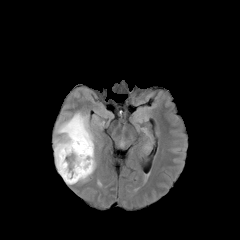
FLAIR magnetic resonance.
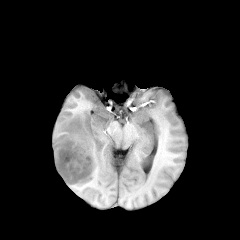
T1-weighted MR image of the same slice.
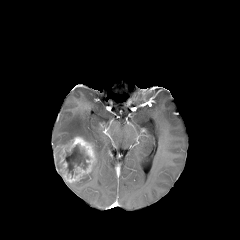
Post-contrast T1-weighted MR.
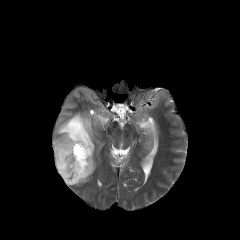
T2-weighted MRI.
Axial plane, Head
Findings:
• necrotic tumor core: (65,145,89,176)
• enhancing tumor: (59,136,95,183)
• peritumoral edema: (66,159,96,184), (53,112,95,172)